Head | Slice 62/155
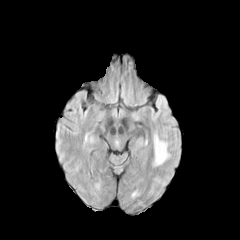
FLAIR MRI.
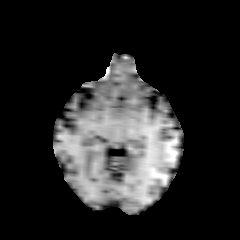
Same slice, T1-weighted magnetic resonance.
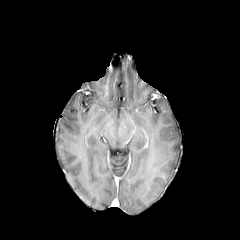
Same slice, post-contrast T1-weighted MR image.
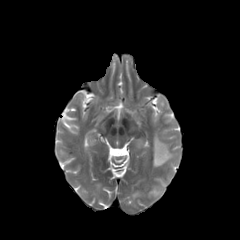
T2-weighted MR of the same slice.
* peritumoral edema: 153,133,170,166